240x240 px; Axial plane; Image covers 240 mm x 240 mm
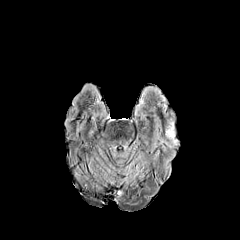
FLAIR MR.
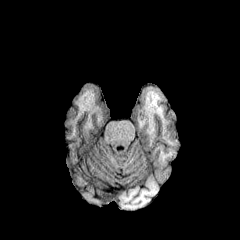
Same slice, T1-weighted magnetic resonance.
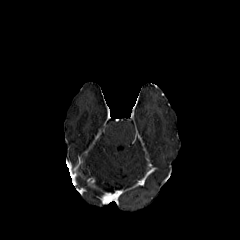
Post-contrast T1-weighted MRI of the same slice.
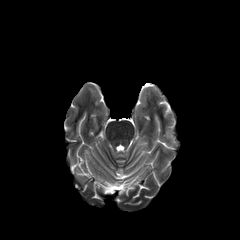
T2-weighted MR image of the same slice.
peritumoral edema — [166,125,174,138]